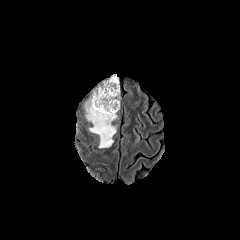
FLAIR MRI.
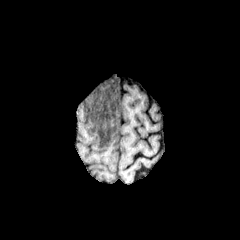
T1-weighted MRI of the same slice.
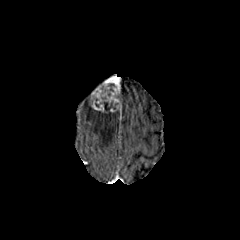
Post-contrast T1-weighted MRI of the same slice.
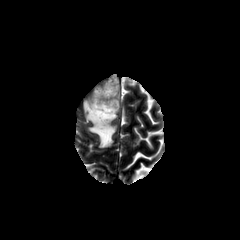
T2-weighted magnetic resonance.
Axial slice
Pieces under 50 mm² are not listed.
enhancing tumor = left=89, top=75, right=121, bottom=112
necrotic tumor core = left=98, top=101, right=115, bottom=116
peritumoral edema = left=85, top=100, right=117, bottom=148